FLAIR MR.
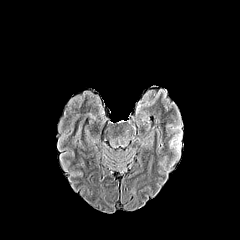
T1-weighted magnetic resonance.
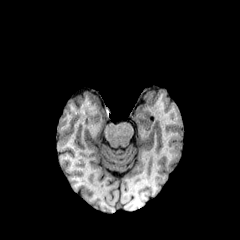
Post-contrast T1-weighted MR.
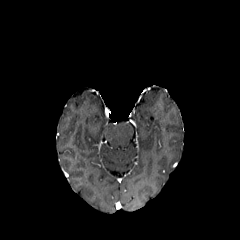
T2-weighted MR image.
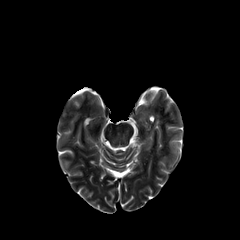
Axial plane
Segmented structures:
- peritumoral edema: bbox(171, 125, 182, 153)